240x240. Axial plane. Head.
FLAIR MR.
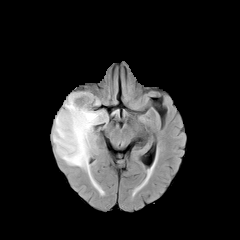
T1-weighted MRI.
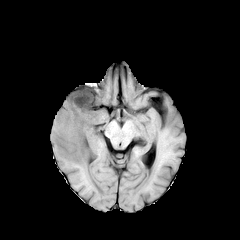
Post-contrast T1-weighted MR image.
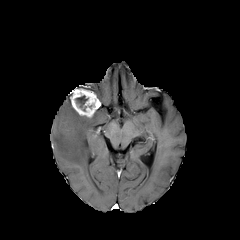
T2-weighted MRI.
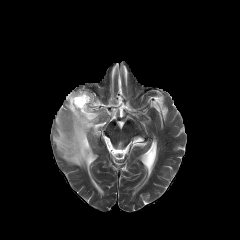
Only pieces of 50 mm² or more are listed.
The largest necrotic tumor core region is located at 76 95 87 107. The enhancing tumor is bounded by 70 89 100 117. The peritumoral edema is bounded by 52 95 107 179.